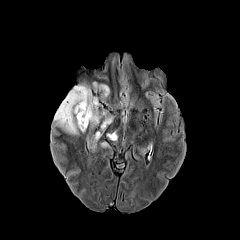
FLAIR magnetic resonance.
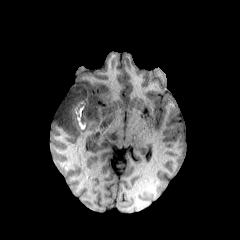
T1-weighted magnetic resonance of the same slice.
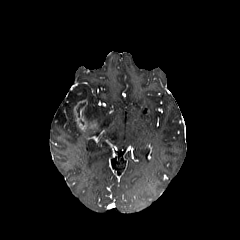
Same slice, post-contrast T1-weighted MR image.
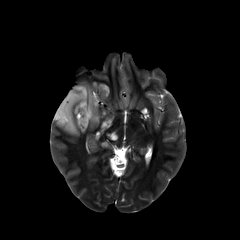
T2-weighted MR.
Brain.
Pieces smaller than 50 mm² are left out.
The 2 largest necrotic tumor core regions are bounded by 82, 99, 93, 124; 76, 102, 85, 117. The 4 largest peritumoral edema regions appear at 107, 132, 116, 139; 101, 111, 113, 129; 54, 85, 100, 134; 99, 84, 109, 97. The largest enhancing tumor region is located at 73, 100, 87, 132.